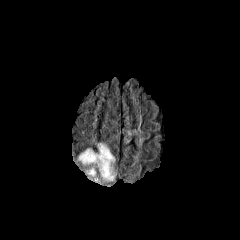
FLAIR MR image.
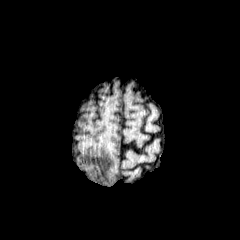
T1-weighted magnetic resonance.
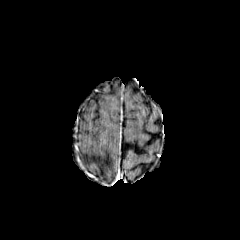
Same slice, post-contrast T1-weighted magnetic resonance.
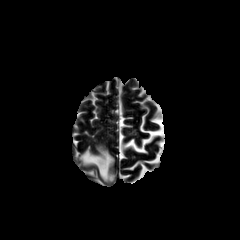
Same slice, T2-weighted MR image.
Axial plane | Brain
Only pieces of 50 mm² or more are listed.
peritumoral_edema:
  - [79, 143, 115, 181]